FLAIR MR.
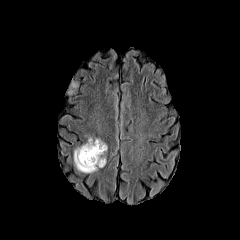
T1-weighted MRI.
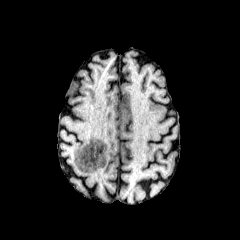
Post-contrast T1-weighted magnetic resonance.
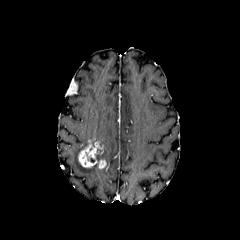
T2-weighted MR.
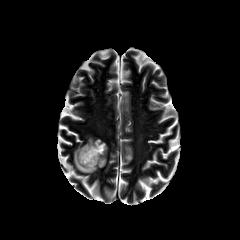
240x240 px; Head
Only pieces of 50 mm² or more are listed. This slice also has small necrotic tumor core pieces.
Findings:
- enhancing tumor: rect(78, 140, 106, 168)
- peritumoral edema: rect(94, 137, 108, 155); rect(74, 143, 97, 173)